Brain
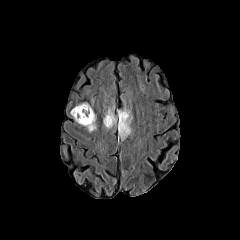
FLAIR MR.
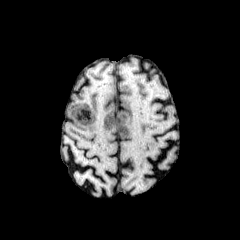
T1-weighted MR image.
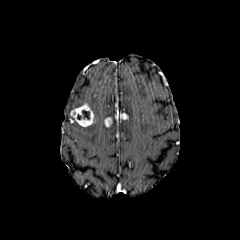
Post-contrast T1-weighted magnetic resonance.
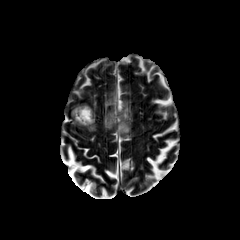
T2-weighted MRI.
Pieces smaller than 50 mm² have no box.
The 3 largest peritumoral edema regions appear at left=105, top=106, right=116, bottom=128; left=86, top=122, right=96, bottom=132; left=118, top=110, right=132, bottom=140. The largest necrotic tumor core region is at left=82, top=110, right=89, bottom=119. 3 enhancing tumor regions are bounded by left=115, top=111, right=128, bottom=125; left=104, top=117, right=112, bottom=127; left=70, top=103, right=95, bottom=127.